Slice 78 of 155 | Brain
FLAIR magnetic resonance.
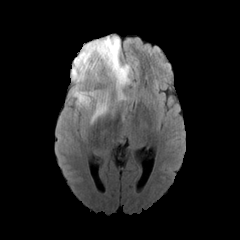
T1-weighted MR.
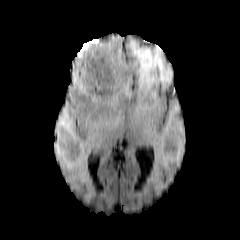
Post-contrast T1-weighted magnetic resonance.
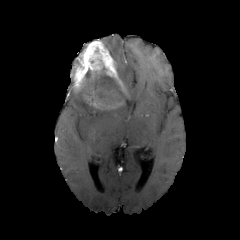
T2-weighted magnetic resonance.
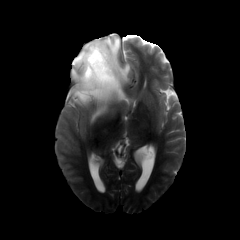
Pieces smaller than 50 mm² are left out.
Segmented structures:
• necrotic tumor core: [87, 75, 118, 96]
• enhancing tumor: [71, 37, 126, 115]
• peritumoral edema: [83, 105, 103, 123], [70, 88, 81, 108], [107, 35, 131, 87]